FLAIR MR.
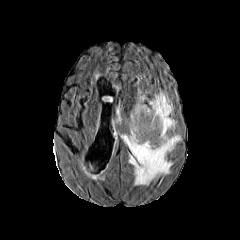
T1-weighted MRI.
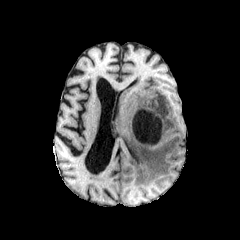
Post-contrast T1-weighted MR image.
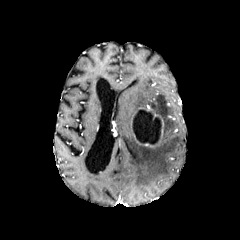
T2-weighted MRI.
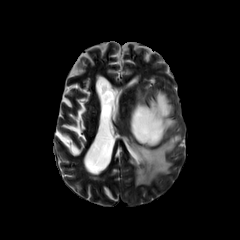
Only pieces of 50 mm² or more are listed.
necrotic tumor core: left=132, top=109, right=161, bottom=144 | enhancing tumor: left=132, top=106, right=163, bottom=147 | peritumoral edema: left=130, top=95, right=145, bottom=118; left=121, top=92, right=180, bottom=185